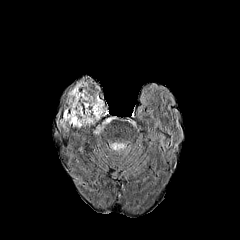
FLAIR MRI.
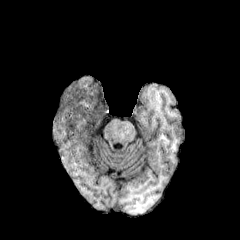
T1-weighted MRI of the same slice.
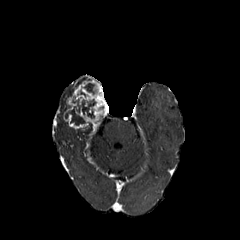
Post-contrast T1-weighted MR.
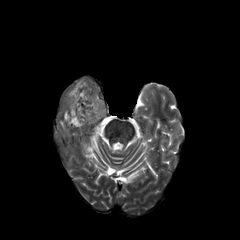
Same slice, T2-weighted MR image.
Image size 240x240 | Axial plane
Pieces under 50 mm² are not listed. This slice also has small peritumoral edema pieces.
necrotic tumor core = l=65, t=107, r=85, b=125; l=77, t=99, r=95, b=118; l=84, t=83, r=94, b=93
enhancing tumor = l=63, t=79, r=108, b=130